240x240 px; Axial plane; Slice 112/155
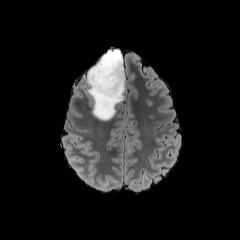
FLAIR MRI.
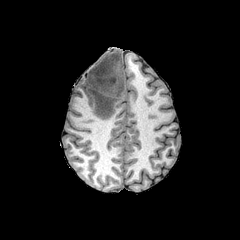
T1-weighted MR of the same slice.
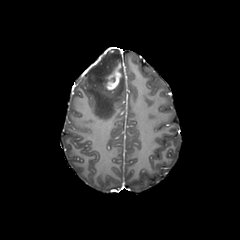
Post-contrast T1-weighted magnetic resonance.
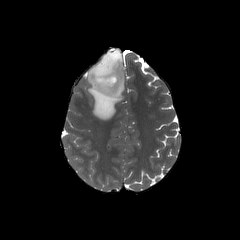
T2-weighted MRI.
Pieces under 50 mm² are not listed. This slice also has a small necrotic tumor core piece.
The peritumoral edema is located at bbox=[87, 49, 125, 120]. The enhancing tumor appears at bbox=[105, 62, 121, 90].